Axial slice. Slice 61 of 155. Brain.
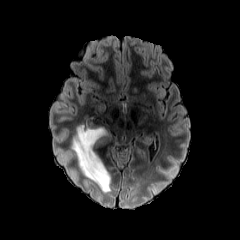
FLAIR MR image.
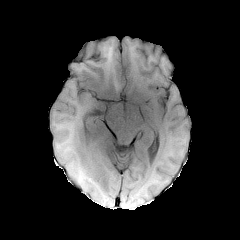
T1-weighted MRI.
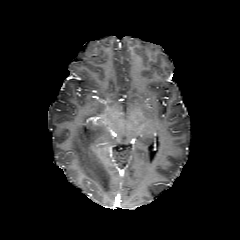
Post-contrast T1-weighted MR image of the same slice.
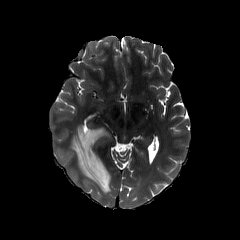
Same slice, T2-weighted MRI.
Annotated regions:
• peritumoral edema: <box>71,125,110,192</box>